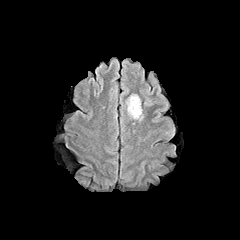
FLAIR MR.
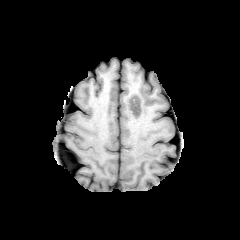
Same slice, T1-weighted magnetic resonance.
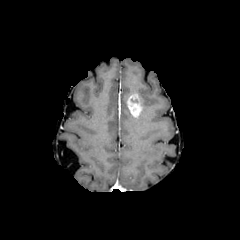
Post-contrast T1-weighted MRI of the same slice.
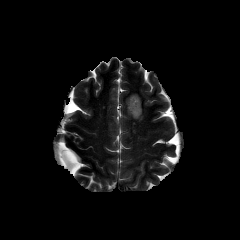
Same slice, T2-weighted MR.
240x240
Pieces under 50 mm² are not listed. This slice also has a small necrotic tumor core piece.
peritumoral_edema:
  - x1=127, y1=106, x2=143, y2=121
enhancing_tumor:
  - x1=127, y1=94, x2=141, y2=117